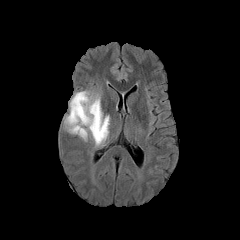
FLAIR magnetic resonance.
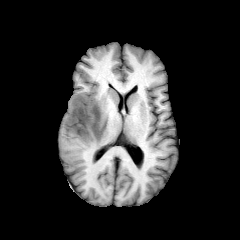
T1-weighted MR image.
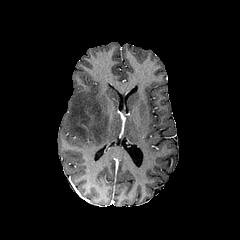
Post-contrast T1-weighted MR image.
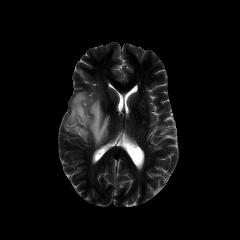
T2-weighted magnetic resonance of the same slice.
Brain, Axial plane
peritumoral edema = {"x1": 65, "y1": 91, "x2": 109, "y2": 146}